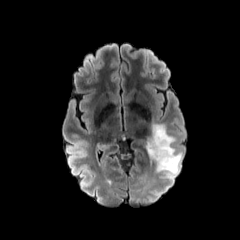
FLAIR MRI.
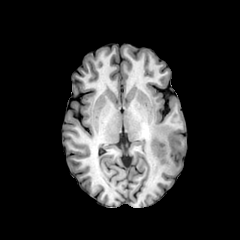
T1-weighted MR of the same slice.
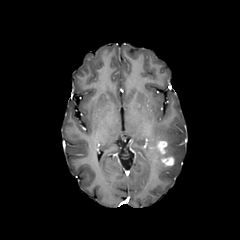
Same slice, post-contrast T1-weighted MR.
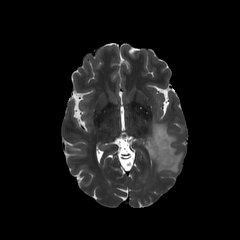
T2-weighted MRI.
The peritumoral edema lies within (146,122,182,178). The enhancing tumor lies within (154,141,174,165).